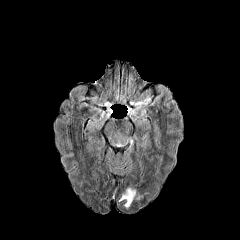
FLAIR MR image.
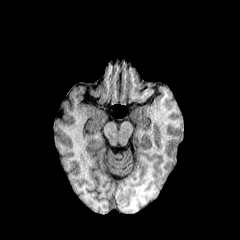
T1-weighted magnetic resonance.
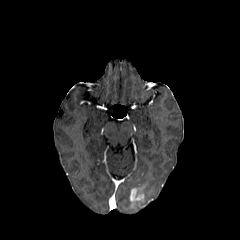
Post-contrast T1-weighted magnetic resonance of the same slice.
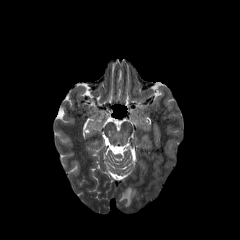
T2-weighted MR image of the same slice.
Head
• peritumoral edema: l=119, t=187, r=131, b=208
• enhancing tumor: l=129, t=188, r=143, b=201